240x240 px | Image width 240 mm, 1.00 mm slice spacing | Slice 90/155
FLAIR magnetic resonance.
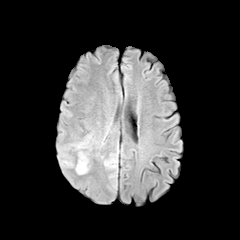
T1-weighted magnetic resonance.
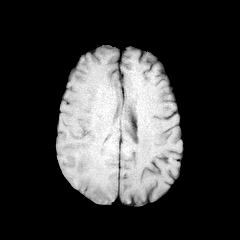
Post-contrast T1-weighted magnetic resonance.
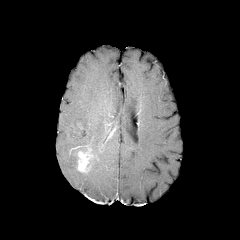
T2-weighted MRI.
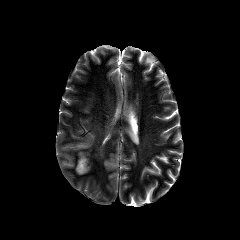
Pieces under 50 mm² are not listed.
The 3 largest peritumoral edema regions are bounded by (62,160,73,166), (104,158,115,167), (68,136,91,151). The enhancing tumor is bounded by (77,151,90,172).